Axial slice. Slice 112/155. Head.
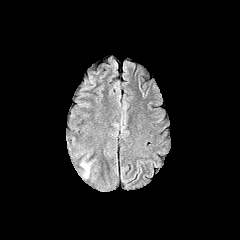
FLAIR MR image.
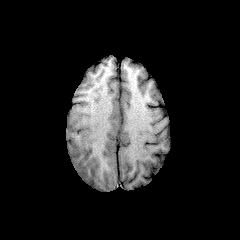
T1-weighted MR image of the same slice.
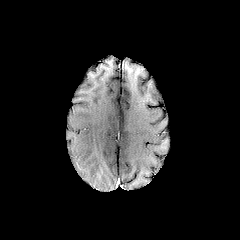
Post-contrast T1-weighted MR.
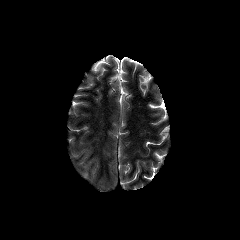
Same slice, T2-weighted magnetic resonance.
Findings:
* peritumoral edema: [x1=83, y1=164, x2=88, y2=177]